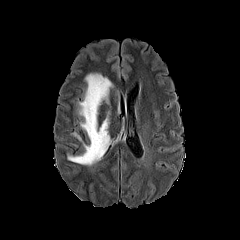
FLAIR MR image.
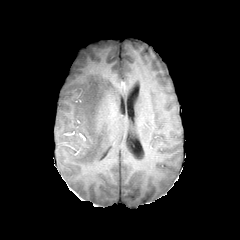
T1-weighted magnetic resonance.
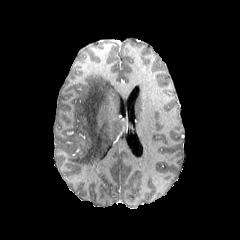
Same slice, post-contrast T1-weighted MRI.
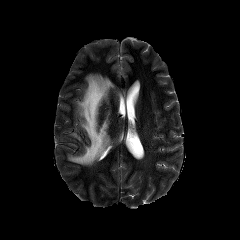
T2-weighted magnetic resonance of the same slice.
240x240 px
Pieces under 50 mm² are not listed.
{
  "peritumoral_edema": [
    "<box>68,73,112,165</box>"
  ]
}